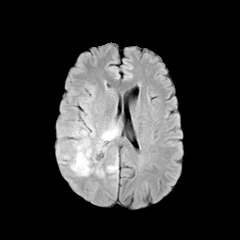
FLAIR MR.
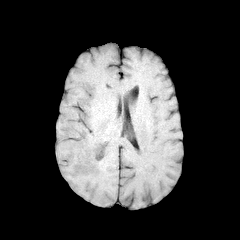
T1-weighted MR image of the same slice.
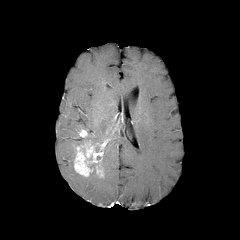
Post-contrast T1-weighted MRI.
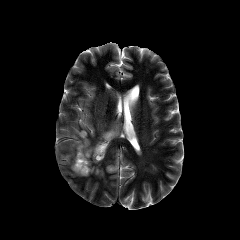
T2-weighted MR of the same slice.
Axial plane; 240x240
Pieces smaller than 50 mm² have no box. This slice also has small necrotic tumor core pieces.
The 6 largest peritumoral edema regions are bounded by (72, 135, 91, 149), (63, 151, 83, 176), (83, 116, 94, 136), (71, 127, 80, 136), (95, 122, 119, 144), (107, 162, 117, 172). 2 enhancing tumor regions are bounded by (74, 141, 106, 176), (79, 130, 87, 137).